FLAIR MR image.
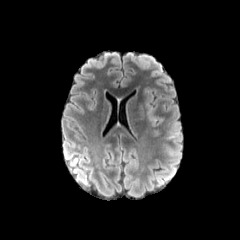
T1-weighted MR image.
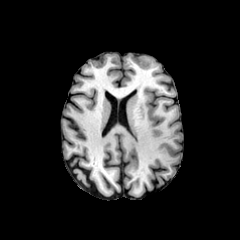
Post-contrast T1-weighted magnetic resonance.
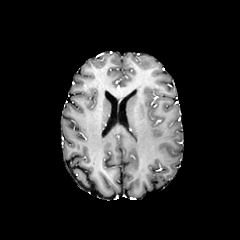
T2-weighted MR image.
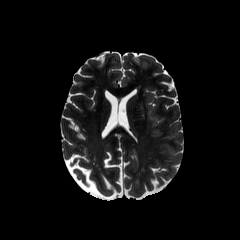
Brain
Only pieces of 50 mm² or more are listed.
The largest peritumoral edema region lies within <box>143,86,154,114</box>.